Head. Image width 240 mm, 1.00 mm slice spacing. Axial slice. Slice 85/155.
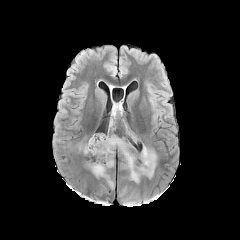
FLAIR magnetic resonance.
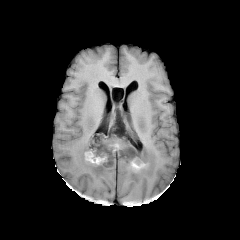
Same slice, T1-weighted MRI.
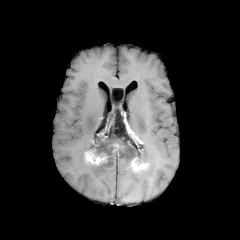
Post-contrast T1-weighted MR image.
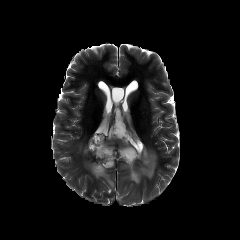
Same slice, T2-weighted MRI.
The necrotic tumor core lies within 91 145 100 155. 2 enhancing tumor regions are bounded by 84 149 107 165, 130 157 148 172. 2 peritumoral edema regions are bounded by 86 135 157 187, 79 137 91 153.